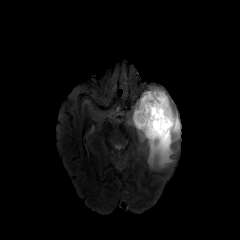
FLAIR MR image.
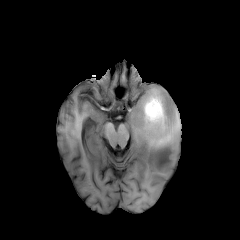
T1-weighted magnetic resonance of the same slice.
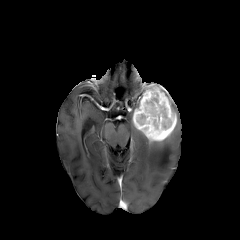
Post-contrast T1-weighted magnetic resonance.
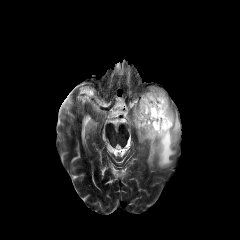
T2-weighted MRI.
Axial slice
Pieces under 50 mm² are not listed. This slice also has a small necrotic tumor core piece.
The 2 largest peritumoral edema regions are bounded by left=127, top=98, right=140, bottom=126; left=136, top=101, right=180, bottom=168. The enhancing tumor is bounded by left=132, top=85, right=176, bottom=142.